FLAIR MR image.
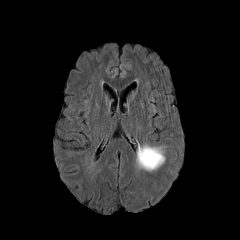
T1-weighted magnetic resonance.
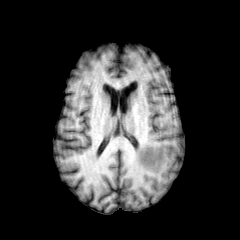
Post-contrast T1-weighted MR image.
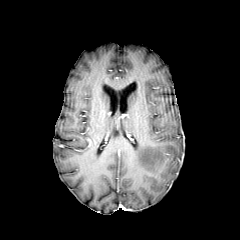
T2-weighted MR.
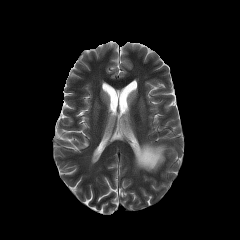
Axial plane. 240x240.
{
  "peritumoral_edema": [
    "left=136, top=144, right=165, bottom=171"
  ]
}